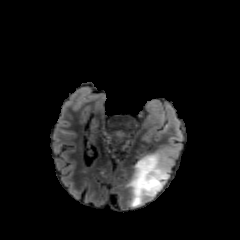
FLAIR MR.
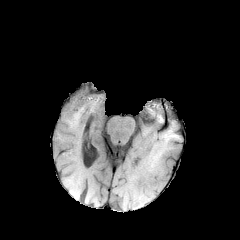
T1-weighted magnetic resonance.
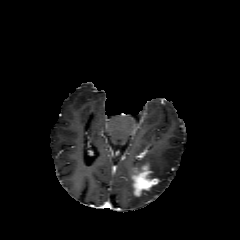
Post-contrast T1-weighted MR.
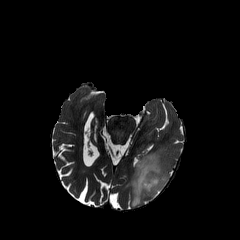
T2-weighted MR image.
{
  "enhancing_tumor": [
    "x1=132 y1=164 x2=159 y2=196"
  ],
  "peritumoral_edema": [
    "x1=126 y1=148 x2=172 y2=207"
  ]
}